Slice 74/155.
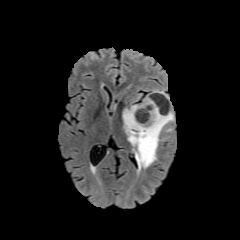
FLAIR MR.
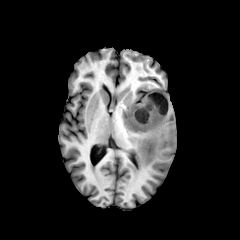
T1-weighted magnetic resonance.
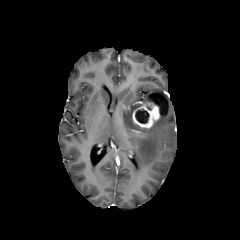
Post-contrast T1-weighted MR image.
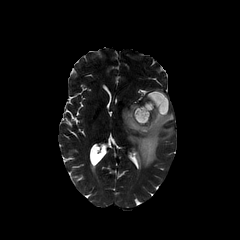
T2-weighted MR image.
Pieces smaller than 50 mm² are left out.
{"enhancing_tumor": ["bbox=[132, 102, 159, 128]"], "necrotic_tumor_core": ["bbox=[135, 109, 149, 123]"], "peritumoral_edema": ["bbox=[122, 90, 174, 170]"]}